240x240 | Head
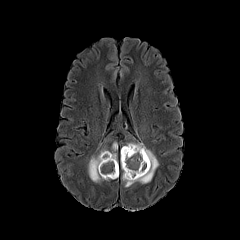
FLAIR MR.
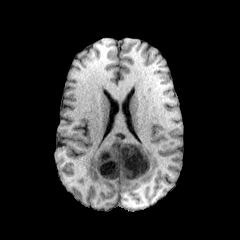
T1-weighted MRI.
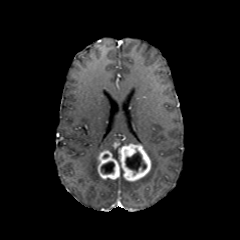
Same slice, post-contrast T1-weighted MR image.
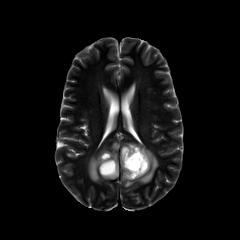
T2-weighted MR image.
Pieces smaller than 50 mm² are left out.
The 2 largest enhancing tumor regions are located at rect(97, 150, 119, 179); rect(119, 143, 151, 181). The 3 largest peritumoral edema regions appear at rect(111, 145, 117, 160); rect(122, 142, 158, 187); rect(88, 152, 103, 182). The 2 largest necrotic tumor core regions are bounded by rect(101, 161, 114, 174); rect(125, 151, 146, 172).